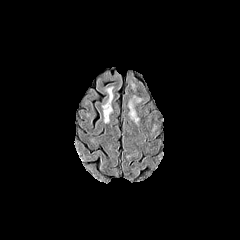
FLAIR MR image.
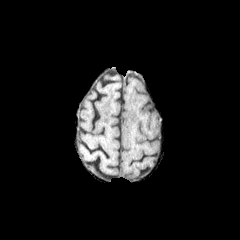
T1-weighted magnetic resonance.
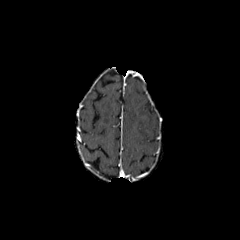
Same slice, post-contrast T1-weighted MR.
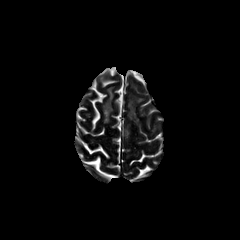
Same slice, T2-weighted MRI.
Brain | Axial slice
The peritumoral edema appears at [130, 109, 137, 120].